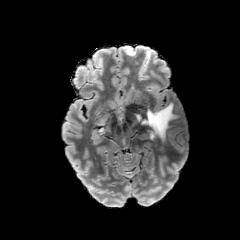
FLAIR magnetic resonance.
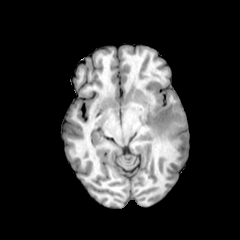
T1-weighted MRI.
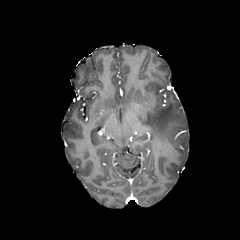
Post-contrast T1-weighted MR image.
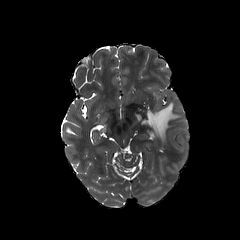
T2-weighted MR image of the same slice.
Axial slice | Brain | Image size 240x240
peritumoral_edema:
  - 135, 103, 179, 140